240x240. Image covers 240 mm x 240 mm. Slice index 116. Brain.
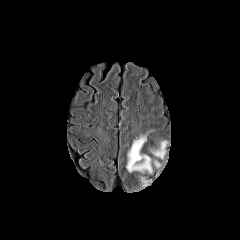
FLAIR magnetic resonance.
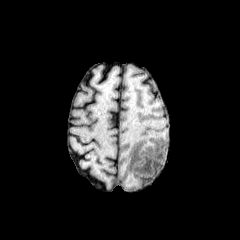
T1-weighted MR image.
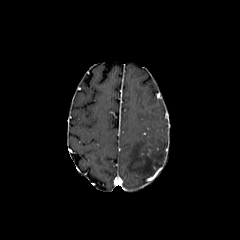
Post-contrast T1-weighted MRI.
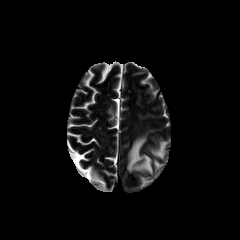
T2-weighted MR.
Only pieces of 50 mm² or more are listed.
- peritumoral edema: x1=127 y1=136 x2=152 y2=173, x1=152 y1=141 x2=166 y2=158